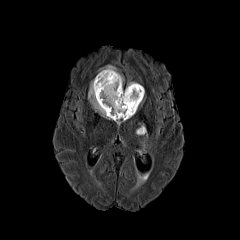
FLAIR MRI.
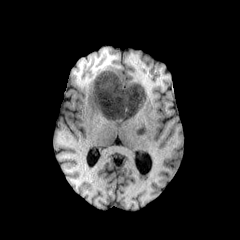
Same slice, T1-weighted magnetic resonance.
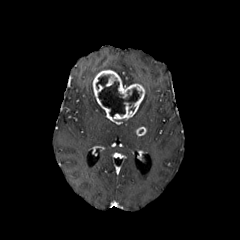
Post-contrast T1-weighted MRI of the same slice.
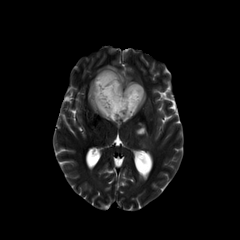
T2-weighted MRI.
Brain | 240x240 px
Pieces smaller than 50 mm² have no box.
2 enhancing tumor regions are located at bbox=[92, 70, 144, 120]; bbox=[136, 126, 146, 135]. The 2 largest peritumoral edema regions appear at bbox=[88, 80, 108, 119]; bbox=[98, 65, 124, 82]. The largest necrotic tumor core region is at bbox=[96, 75, 139, 116].